FLAIR MR image.
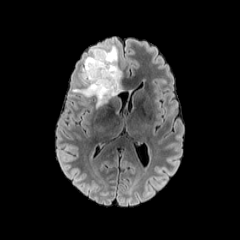
T1-weighted MR.
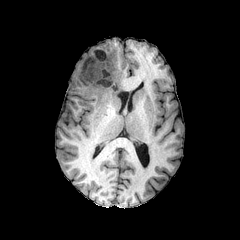
Post-contrast T1-weighted MR image.
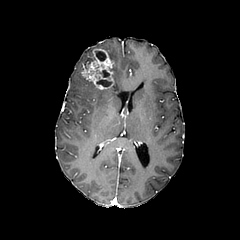
T2-weighted MR.
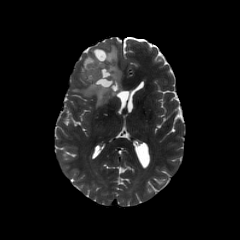
240x240 px
3 necrotic tumor core regions appear at region(96, 79, 111, 86); region(96, 51, 106, 61); region(99, 70, 109, 77). 2 peritumoral edema regions are located at region(83, 47, 98, 64); region(73, 46, 122, 107). The enhancing tumor is located at region(82, 48, 113, 89).